Image covers 240 mm x 240 mm | Slice 62/155 | Head
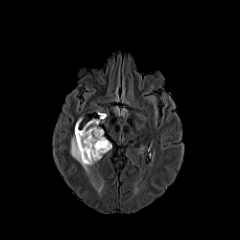
FLAIR magnetic resonance.
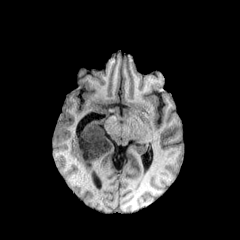
T1-weighted MR of the same slice.
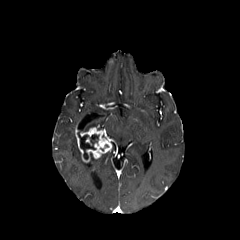
Same slice, post-contrast T1-weighted MR image.
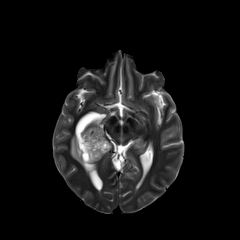
T2-weighted MR of the same slice.
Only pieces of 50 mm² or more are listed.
Findings:
* enhancing tumor: {"x1": 75, "y1": 126, "x2": 111, "y2": 162}
* peritumoral edema: {"x1": 87, "y1": 152, "x2": 101, "y2": 165}, {"x1": 70, "y1": 134, "x2": 85, "y2": 169}, {"x1": 83, "y1": 120, "x2": 99, "y2": 131}
* necrotic tumor core: {"x1": 80, "y1": 134, "x2": 99, "y2": 159}